Slice 130 of 155.
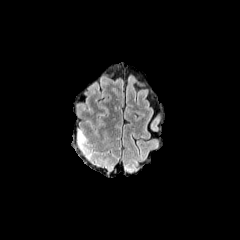
FLAIR MR.
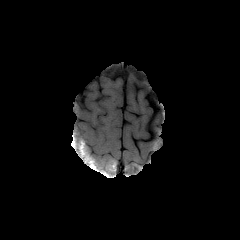
T1-weighted MR.
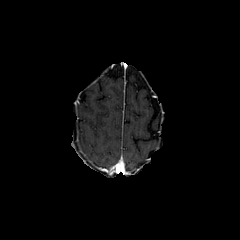
Post-contrast T1-weighted magnetic resonance.
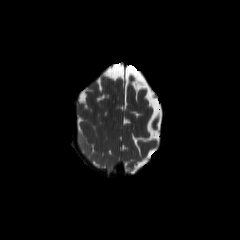
T2-weighted MRI.
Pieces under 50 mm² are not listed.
The largest peritumoral edema region is located at 79:129:87:144.